Slice index 116, Axial plane, Image width 240 mm, 1.00 mm slice spacing
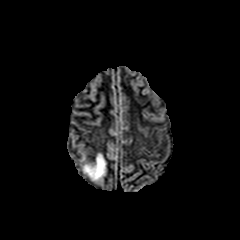
FLAIR MR.
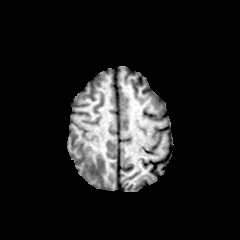
T1-weighted MR.
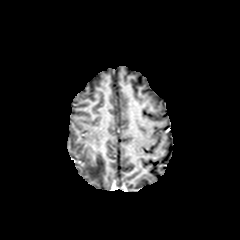
Same slice, post-contrast T1-weighted MR.
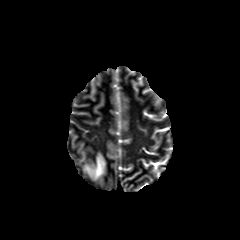
Same slice, T2-weighted MRI.
peritumoral edema: box=[83, 153, 105, 180]